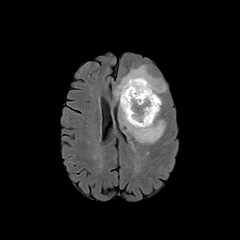
FLAIR MRI.
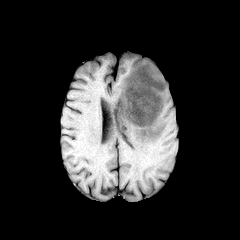
Same slice, T1-weighted MRI.
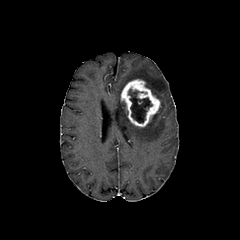
Same slice, post-contrast T1-weighted MR image.
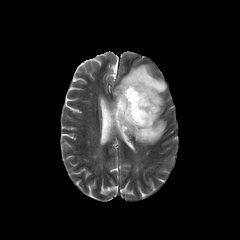
T2-weighted magnetic resonance.
Image size 240x240 | Brain
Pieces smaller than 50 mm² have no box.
enhancing tumor = region(121, 79, 160, 127)
peritumoral edema = region(114, 65, 166, 143)
necrotic tumor core = region(128, 89, 152, 122)